FLAIR MR.
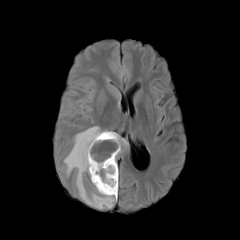
T1-weighted MR image.
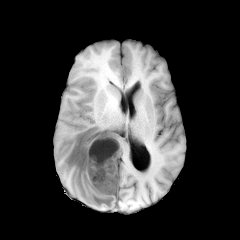
Post-contrast T1-weighted MR.
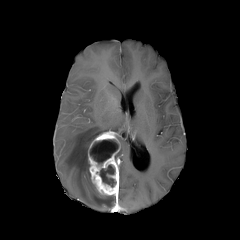
T2-weighted magnetic resonance.
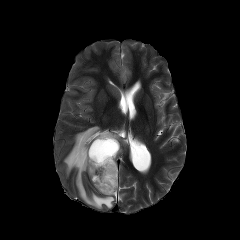
Head
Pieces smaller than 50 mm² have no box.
peritumoral edema — (64,126,116,208), (115,134,128,161)
enhancing tumor — (88,131,120,196)
necrotic tumor core — (90,139,118,163), (100,165,116,187)